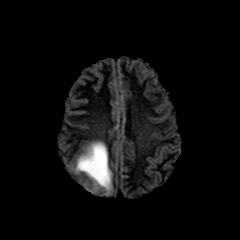
FLAIR MR.
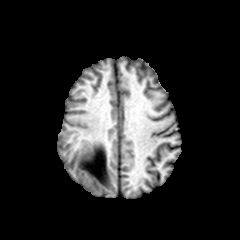
T1-weighted MR image.
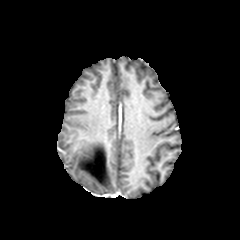
Post-contrast T1-weighted magnetic resonance of the same slice.
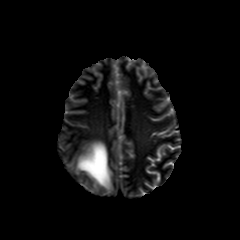
T2-weighted MR image of the same slice.
Axial plane
peritumoral_edema:
  - {"x1": 75, "y1": 141, "x2": 112, "y2": 192}